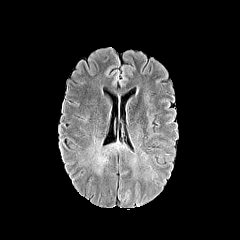
FLAIR magnetic resonance.
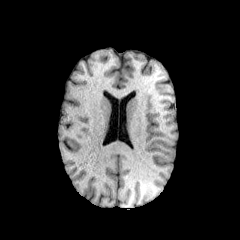
T1-weighted MR image.
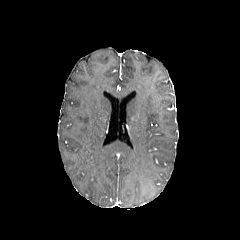
Same slice, post-contrast T1-weighted MR.
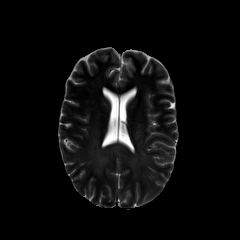
T2-weighted MR image of the same slice.
Brain
peritumoral edema at (left=76, top=125, right=157, bottom=181)